FLAIR magnetic resonance.
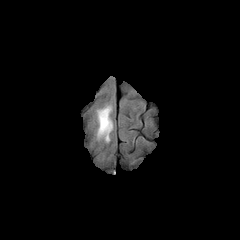
T1-weighted MR image.
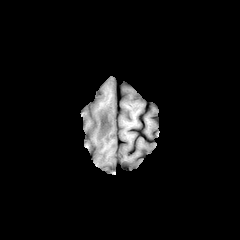
Post-contrast T1-weighted magnetic resonance.
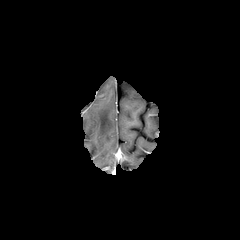
T2-weighted MRI.
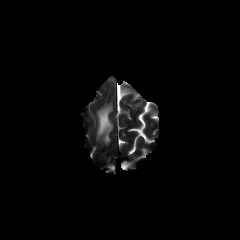
Axial view
The peritumoral edema is at 97, 105, 112, 142.